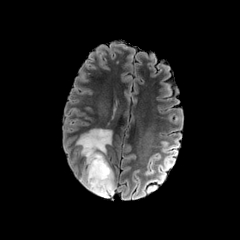
FLAIR MR image.
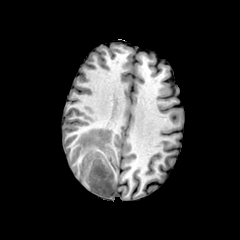
T1-weighted MR.
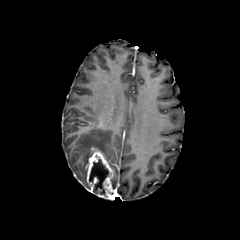
Same slice, post-contrast T1-weighted MR image.
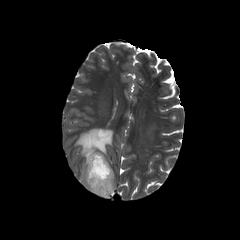
T2-weighted MRI.
Head. Axial plane.
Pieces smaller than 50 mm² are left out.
The largest enhancing tumor region is bounded by 86 148 115 198. The necrotic tumor core is bounded by 89 159 108 194. The largest peritumoral edema region appears at 76 128 112 187.